Axial view; Brain
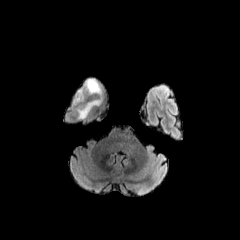
FLAIR magnetic resonance.
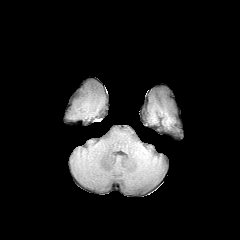
T1-weighted MRI.
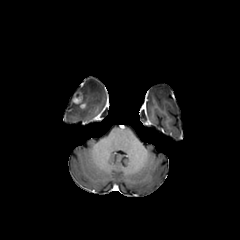
Post-contrast T1-weighted MRI.
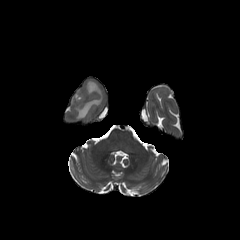
Same slice, T2-weighted MR image.
peritumoral_edema:
  - left=68, top=79, right=102, bottom=119
enhancing_tumor:
  - left=72, top=91, right=85, bottom=108